Axial plane.
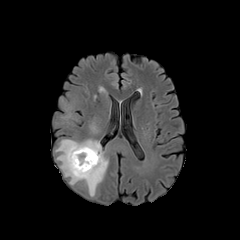
FLAIR MR image.
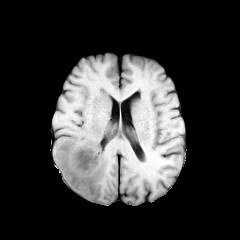
T1-weighted MRI.
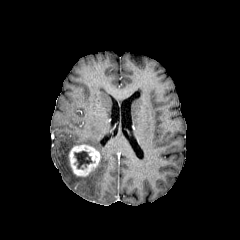
Post-contrast T1-weighted MR of the same slice.
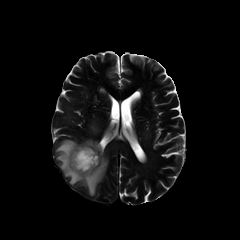
Same slice, T2-weighted MRI.
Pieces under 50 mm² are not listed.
necrotic_tumor_core:
  - rect(74, 151, 92, 169)
enhancing_tumor:
  - rect(69, 144, 100, 176)
peritumoral_edema:
  - rect(55, 139, 108, 196)